240x240, Slice 42 of 155, Head, Axial view
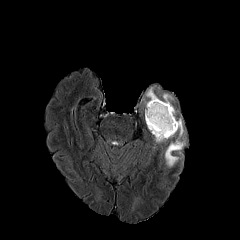
FLAIR MR.
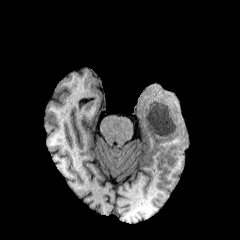
T1-weighted MR image.
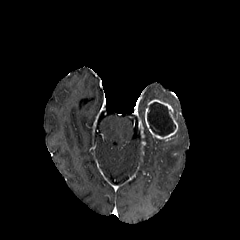
Post-contrast T1-weighted MR image of the same slice.
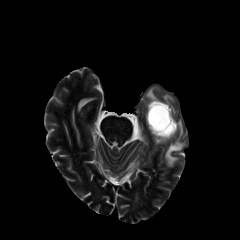
Same slice, T2-weighted MR image.
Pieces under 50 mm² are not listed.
Annotated regions:
- enhancing tumor: 145, 99, 178, 140
- peritumoral edema: 162, 93, 175, 116; 143, 86, 159, 108; 164, 118, 185, 167
- necrotic tumor core: 147, 102, 175, 136